Axial slice. Slice 99 of 155. Head.
FLAIR MRI.
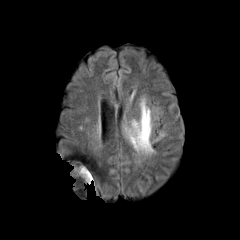
T1-weighted MR image.
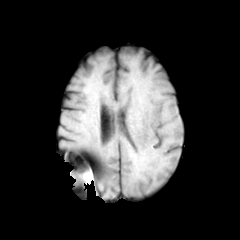
Post-contrast T1-weighted MR.
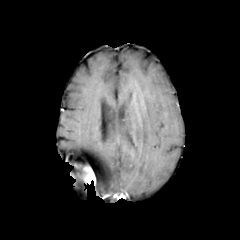
T2-weighted MR.
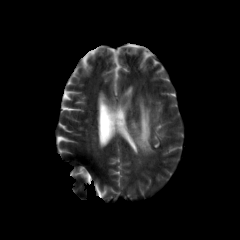
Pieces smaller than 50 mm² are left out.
The largest peritumoral edema region lies within (122, 98, 154, 155).